Axial plane. Slice 91 of 155. Head.
FLAIR MRI.
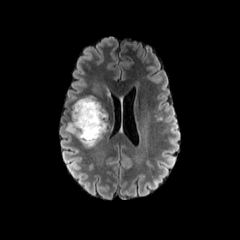
T1-weighted MR image.
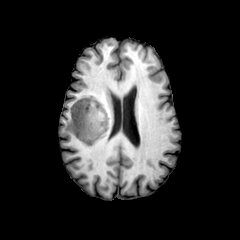
Post-contrast T1-weighted MR image.
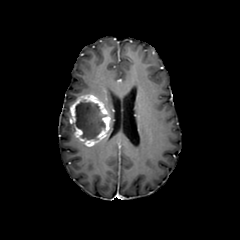
T2-weighted MRI.
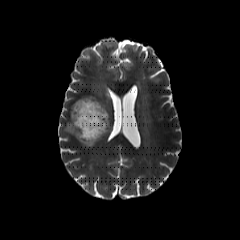
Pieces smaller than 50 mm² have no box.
The necrotic tumor core appears at 75:100:105:141. The 2 largest peritumoral edema regions are bounded by 92:83:101:95, 64:121:73:134. The enhancing tumor appears at 69:95:109:146.